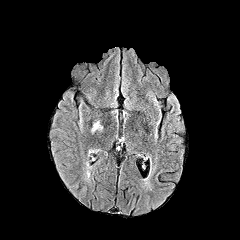
FLAIR MRI.
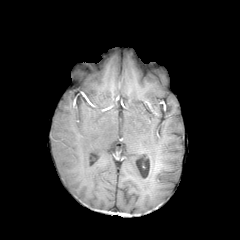
T1-weighted magnetic resonance.
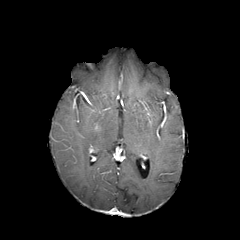
Post-contrast T1-weighted MR of the same slice.
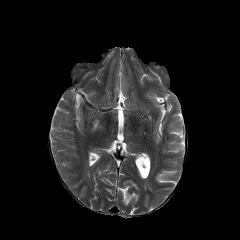
T2-weighted MRI.
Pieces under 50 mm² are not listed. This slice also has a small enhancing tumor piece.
Segmented structures:
• peritumoral edema: box=[92, 121, 102, 132]